FLAIR MR.
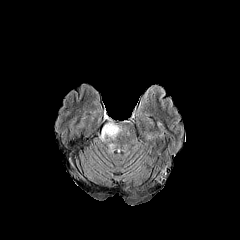
T1-weighted MR image.
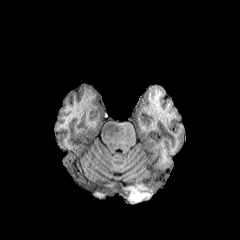
Post-contrast T1-weighted MR.
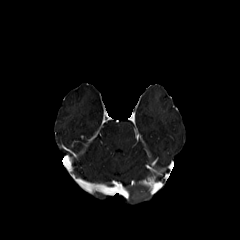
T2-weighted MR.
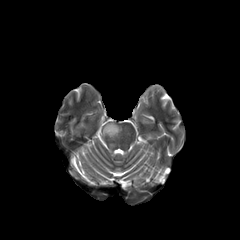
Head.
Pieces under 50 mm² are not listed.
peritumoral_edema:
  - x1=102 y1=122 x2=121 y2=139